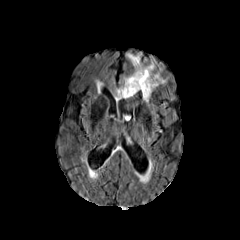
FLAIR MR.
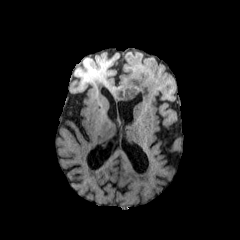
T1-weighted MRI of the same slice.
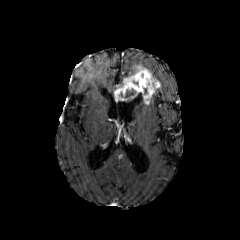
Post-contrast T1-weighted MR.
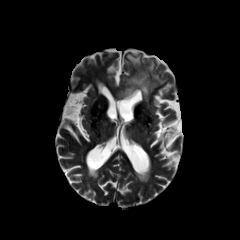
Same slice, T2-weighted MRI.
Axial slice
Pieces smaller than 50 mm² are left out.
The largest necrotic tumor core region appears at (left=125, top=89, right=134, bottom=97). The 2 largest peritumoral edema regions are bounded by (left=144, top=61, right=165, bottom=84), (left=127, top=53, right=141, bottom=72). The enhancing tumor lies within (left=114, top=65, right=160, bottom=104).